Brain | Slice 99/155 | Image width 240 mm | Axial slice
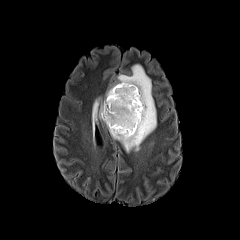
FLAIR MR image.
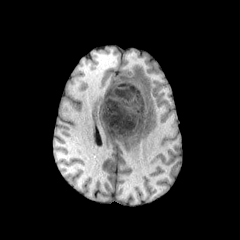
T1-weighted magnetic resonance of the same slice.
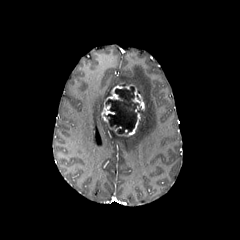
Same slice, post-contrast T1-weighted MRI.
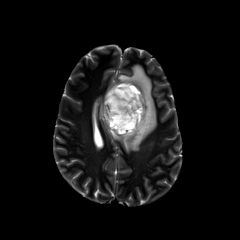
T2-weighted magnetic resonance.
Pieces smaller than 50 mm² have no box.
The largest necrotic tumor core region is bounded by (x1=104, y1=84, x2=141, y2=133). The 3 largest enhancing tumor regions are located at (x1=101, y1=85, x2=123, y2=123), (x1=133, y1=87, x2=144, y2=111), (x1=121, y1=113, x2=140, y2=136). 2 peritumoral edema regions are bounded by (x1=105, y1=64, x2=156, y2=152), (x1=99, y1=102, x2=103, y2=120).